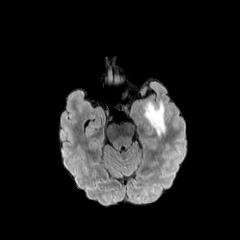
FLAIR MRI.
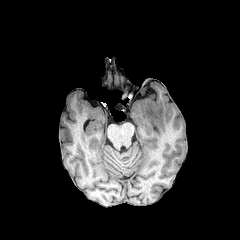
T1-weighted MR image of the same slice.
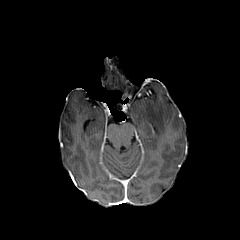
Post-contrast T1-weighted MR image.
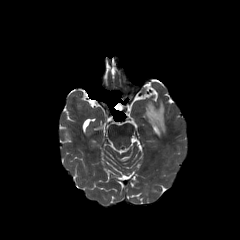
T2-weighted MRI of the same slice.
Axial plane | Head
Segmented structures:
- peritumoral edema: left=144, top=102, right=165, bottom=136